Axial view | 240x240 px | Slice 103 of 155 | Image width 240 mm, 1.00 mm slice spacing
FLAIR MR.
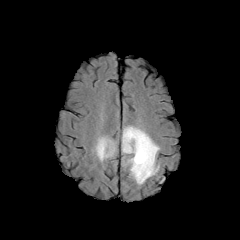
T1-weighted magnetic resonance.
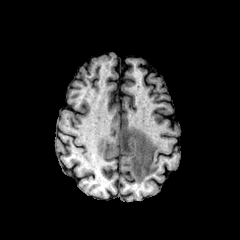
Post-contrast T1-weighted MR.
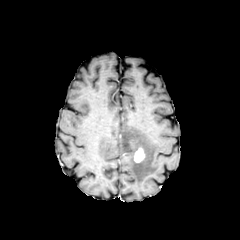
T2-weighted magnetic resonance.
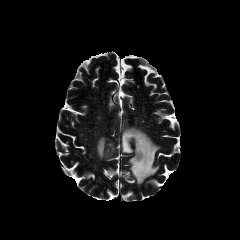
peritumoral edema: bounding box x1=95 y1=137 x2=115 y2=160, x1=122 y1=126 x2=159 y2=184
enhancing tumor: bounding box x1=134 y1=147 x2=145 y2=162